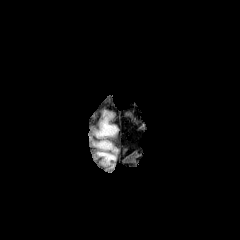
FLAIR MR image.
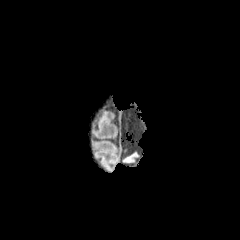
T1-weighted magnetic resonance.
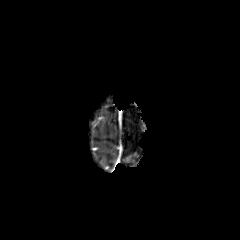
Post-contrast T1-weighted MR image.
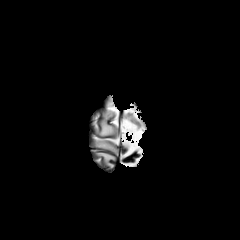
Same slice, T2-weighted MR.
Image size 240x240
3 peritumoral edema regions are located at <box>96,152,115,165</box>, <box>93,141,117,153</box>, <box>96,114,117,136</box>.